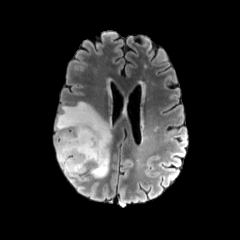
FLAIR magnetic resonance.
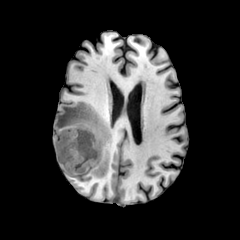
T1-weighted MR image of the same slice.
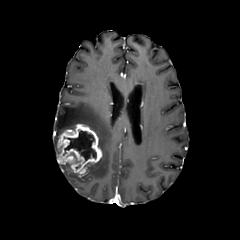
Post-contrast T1-weighted MRI.
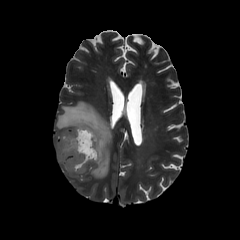
Same slice, T2-weighted MRI.
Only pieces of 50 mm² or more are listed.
Segmented structures:
- peritumoral edema: rect(61, 165, 78, 176); rect(54, 101, 112, 178)
- necrotic tumor core: rect(64, 131, 96, 160)
- enhancing tumor: rect(57, 124, 102, 175)